Axial plane | Slice 86/155
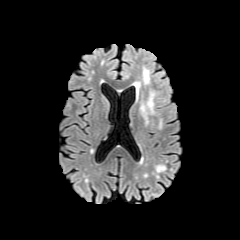
FLAIR MR.
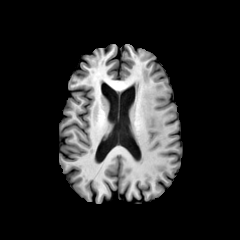
T1-weighted MR image of the same slice.
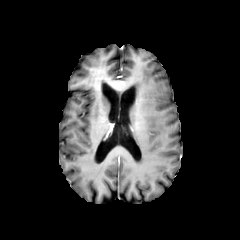
Same slice, post-contrast T1-weighted MRI.
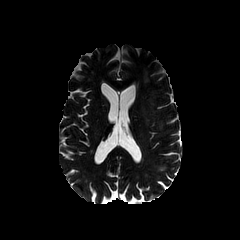
T2-weighted MRI of the same slice.
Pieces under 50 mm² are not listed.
{"peritumoral_edema": ["140,89,160,126", "143,68,149,84"]}